Axial slice. Image covers 240 mm x 240 mm. Brain. Slice index 110.
FLAIR magnetic resonance.
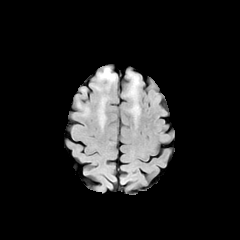
T1-weighted magnetic resonance.
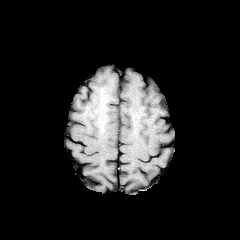
Post-contrast T1-weighted MR.
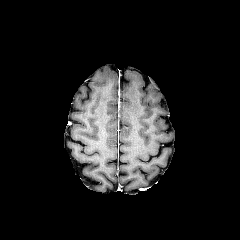
T2-weighted MR image.
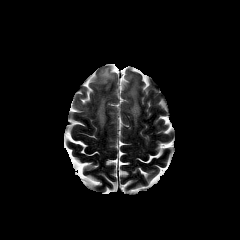
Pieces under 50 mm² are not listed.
peritumoral edema: x1=98 y1=98 x2=106 y2=127, x1=97 y1=66 x2=116 y2=89, x1=125 y1=72 x2=140 y2=120